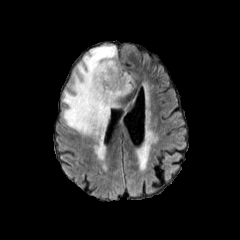
FLAIR MR image.
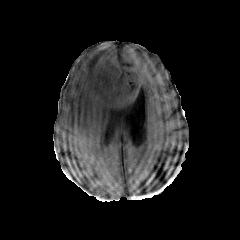
T1-weighted MR image.
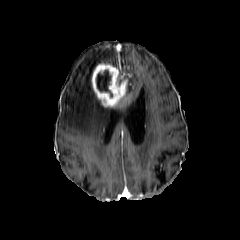
Post-contrast T1-weighted MR image of the same slice.
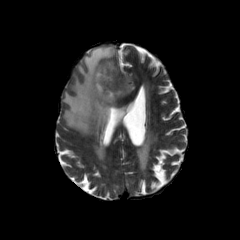
Same slice, T2-weighted MR.
Head, Axial plane
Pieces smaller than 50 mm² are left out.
peritumoral_edema:
  - <box>62,45,135,136</box>
necrotic_tumor_core:
  - <box>97,70,112,96</box>
enhancing_tumor:
  - <box>91,61,131,107</box>